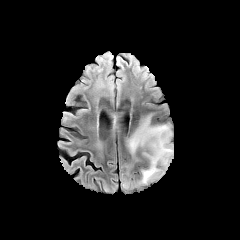
FLAIR MR.
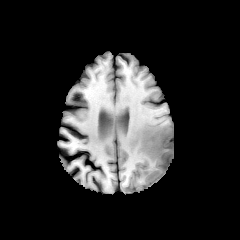
T1-weighted MRI of the same slice.
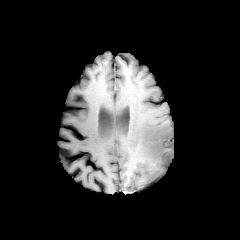
Post-contrast T1-weighted MR.
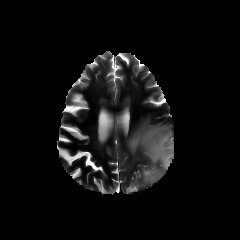
T2-weighted MRI.
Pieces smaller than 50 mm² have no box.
The necrotic tumor core appears at (left=155, top=136, right=171, bottom=162). The largest enhancing tumor region appears at (left=150, top=134, right=172, bottom=165). 2 peritumoral edema regions appear at (left=127, top=116, right=172, bottom=183), (left=168, top=142, right=173, bottom=165).